FLAIR magnetic resonance.
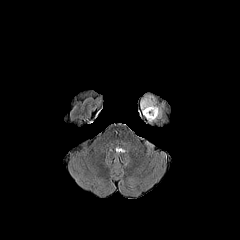
T1-weighted MRI.
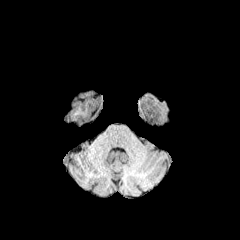
Post-contrast T1-weighted magnetic resonance.
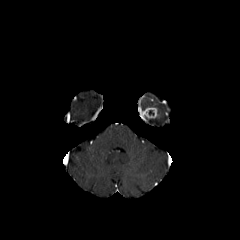
T2-weighted MRI.
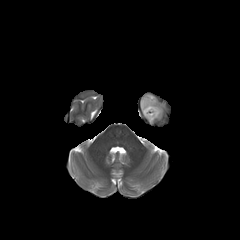
Brain
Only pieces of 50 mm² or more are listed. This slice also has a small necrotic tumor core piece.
{"enhancing_tumor": ["left=140, top=107, right=157, bottom=118"], "peritumoral_edema": ["left=141, top=95, right=163, bottom=121"]}